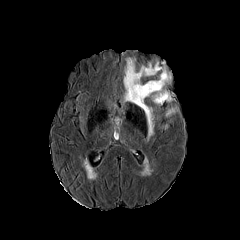
FLAIR MR image.
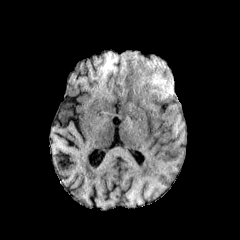
Same slice, T1-weighted MR image.
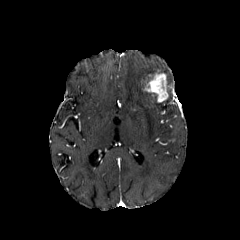
Post-contrast T1-weighted MR.
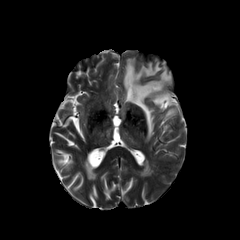
T2-weighted MRI of the same slice.
Axial plane; Head
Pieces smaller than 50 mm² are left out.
peritumoral edema: 166, 87, 172, 101; 123, 58, 171, 140; 166, 108, 176, 116
enhancing tumor: 143, 70, 170, 102